Axial view.
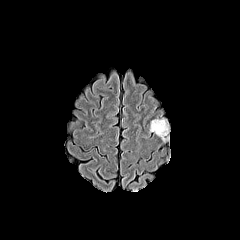
FLAIR MR.
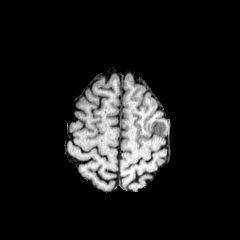
T1-weighted MR image of the same slice.
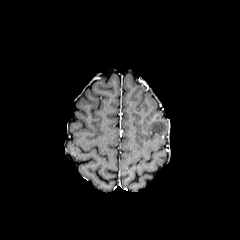
Post-contrast T1-weighted MRI.
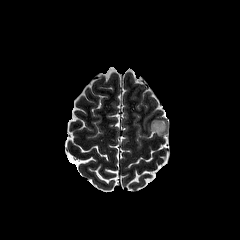
T2-weighted MRI.
Annotated regions:
• peritumoral edema: bbox=[150, 119, 167, 138]